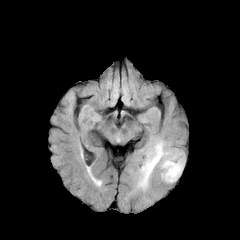
FLAIR MR.
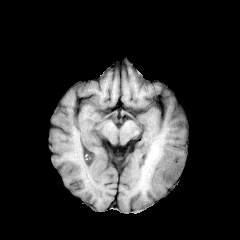
Same slice, T1-weighted magnetic resonance.
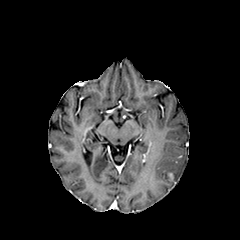
Post-contrast T1-weighted magnetic resonance of the same slice.
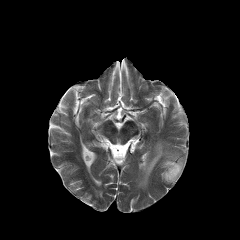
T2-weighted magnetic resonance.
Axial plane. 240x240. Brain.
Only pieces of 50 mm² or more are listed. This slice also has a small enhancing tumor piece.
<segmentation>
  <peritumoral_edema>(x1=138, y1=142, x2=183, y2=188)</peritumoral_edema>
</segmentation>